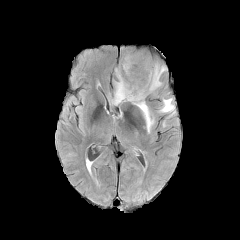
FLAIR magnetic resonance.
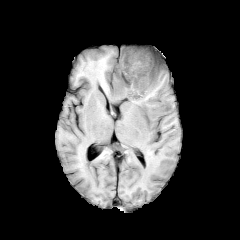
T1-weighted MRI of the same slice.
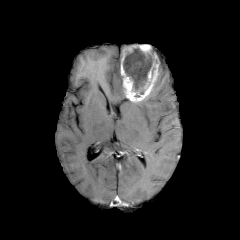
Same slice, post-contrast T1-weighted magnetic resonance.
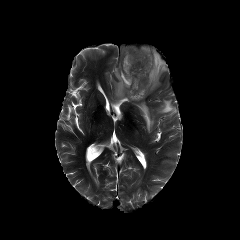
T2-weighted MRI.
240x240 px, Brain
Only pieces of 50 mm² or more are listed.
{"necrotic_tumor_core": ["bbox(123, 45, 152, 90)"], "peritumoral_edema": ["bbox(114, 67, 126, 103)", "bbox(158, 98, 175, 115)", "bbox(131, 99, 154, 132)", "bbox(153, 62, 166, 90)"], "enhancing_tumor": ["bbox(120, 45, 161, 102)"]}